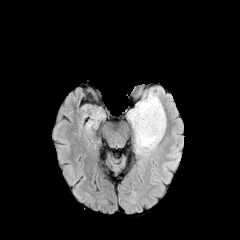
FLAIR magnetic resonance.
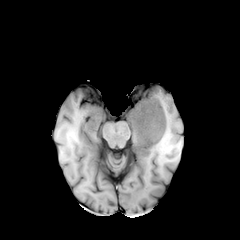
T1-weighted MRI.
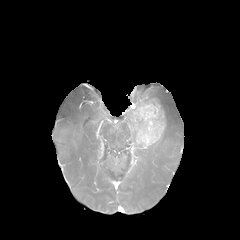
Same slice, post-contrast T1-weighted MR.
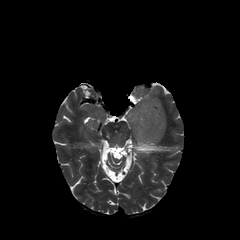
Same slice, T2-weighted MR image.
Brain. Axial view.
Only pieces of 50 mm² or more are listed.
The enhancing tumor appears at x1=132, y1=99, x2=165, y2=148. The 2 largest peritumoral edema regions are bounded by x1=142, y1=91, x2=163, y2=110; x1=127, y1=101, x2=165, y2=155.